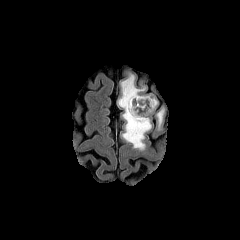
FLAIR MRI.
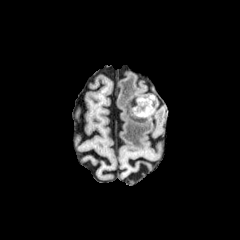
T1-weighted MRI.
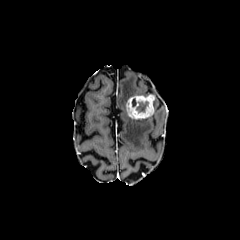
Post-contrast T1-weighted MR image of the same slice.
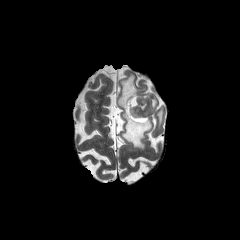
T2-weighted magnetic resonance of the same slice.
Axial slice; 240x240 px; Head
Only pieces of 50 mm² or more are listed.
<segmentation>
  <necrotic_tumor_core><bbox>136, 101, 147, 112</bbox></necrotic_tumor_core>
  <enhancing_tumor><bbox>126, 95, 154, 119</bbox></enhancing_tumor>
  <peritumoral_edema><bbox>118, 75, 151, 149</bbox>, <bbox>157, 110, 163, 126</bbox></peritumoral_edema>
</segmentation>